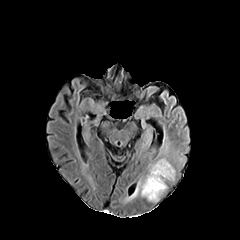
FLAIR MR image.
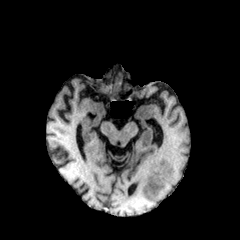
T1-weighted MRI.
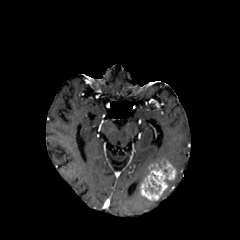
Post-contrast T1-weighted MR.
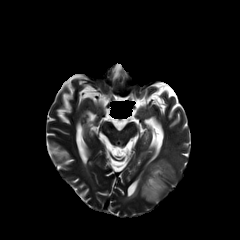
T2-weighted MRI of the same slice.
Axial view, Head
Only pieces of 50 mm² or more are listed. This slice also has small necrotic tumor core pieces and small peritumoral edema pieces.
enhancing tumor at box=[140, 159, 176, 201]